Axial plane
FLAIR MRI.
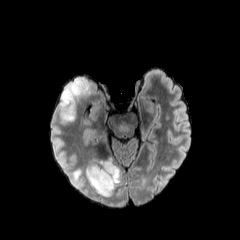
T1-weighted magnetic resonance.
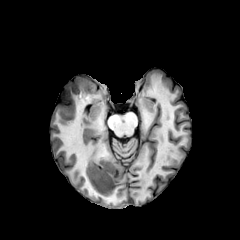
Post-contrast T1-weighted MR image.
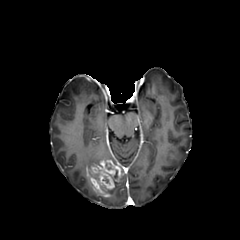
T2-weighted MR image.
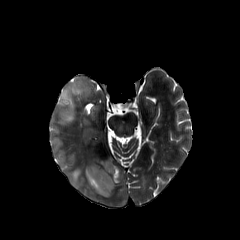
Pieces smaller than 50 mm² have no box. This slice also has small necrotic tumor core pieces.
The enhancing tumor is located at <bbox>86, 160, 123, 196</bbox>. The 4 largest peritumoral edema regions are located at <bbox>86, 175, 103, 196</bbox>, <bbox>59, 77, 88, 121</bbox>, <bbox>72, 170, 83, 187</bbox>, <bbox>109, 176, 122, 196</bbox>.